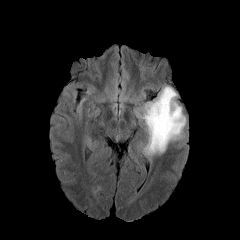
FLAIR MRI.
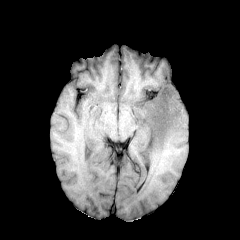
T1-weighted magnetic resonance.
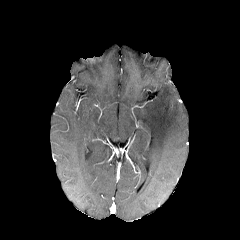
Post-contrast T1-weighted MR of the same slice.
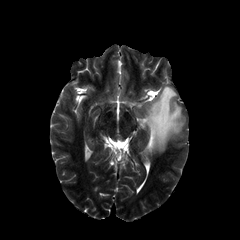
Same slice, T2-weighted magnetic resonance.
Axial slice. 240x240.
The peritumoral edema lies within box=[135, 85, 185, 156].